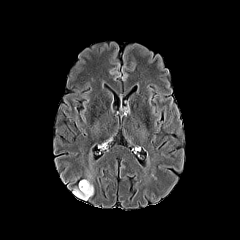
FLAIR MR image.
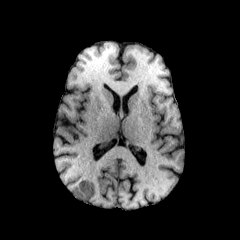
T1-weighted MR.
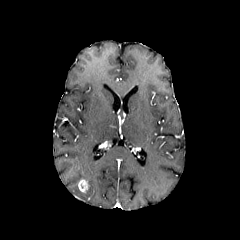
Same slice, post-contrast T1-weighted MR image.
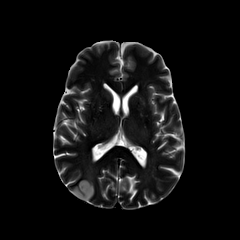
T2-weighted MR.
Brain. Image size 240x240.
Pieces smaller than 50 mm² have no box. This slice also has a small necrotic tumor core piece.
The largest enhancing tumor region is bounded by [78, 179, 88, 192]. The peritumoral edema appears at [73, 174, 93, 200].